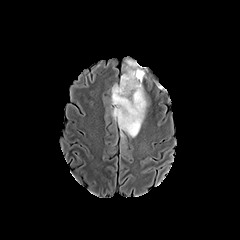
FLAIR magnetic resonance.
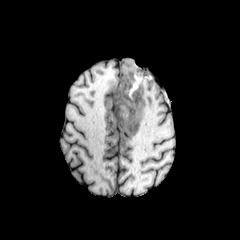
T1-weighted MR image of the same slice.
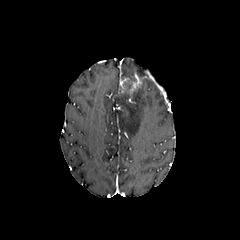
Post-contrast T1-weighted magnetic resonance.
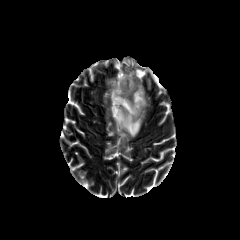
T2-weighted magnetic resonance.
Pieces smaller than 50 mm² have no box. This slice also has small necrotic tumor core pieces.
* peritumoral edema: [111,82,149,143], [121,59,144,82]
* enhancing tumor: [120,72,141,93]